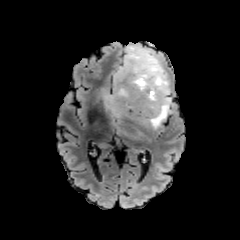
FLAIR MRI.
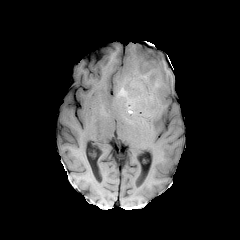
T1-weighted MRI.
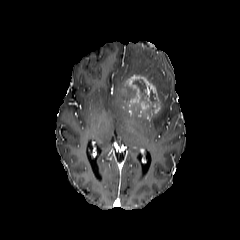
Same slice, post-contrast T1-weighted magnetic resonance.
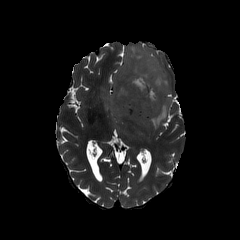
T2-weighted MR image.
Axial plane; Brain
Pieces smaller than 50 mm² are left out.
Annotated regions:
- necrotic tumor core: [132, 79, 146, 93], [127, 88, 135, 96]
- peritumoral edema: [102, 45, 172, 139]
- enhancing tumor: [121, 75, 160, 118]